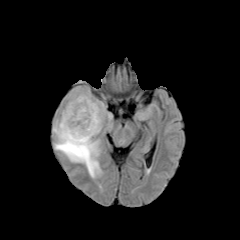
FLAIR MR image.
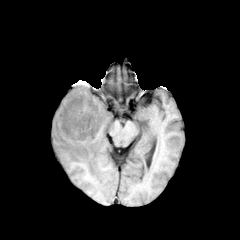
T1-weighted MR image.
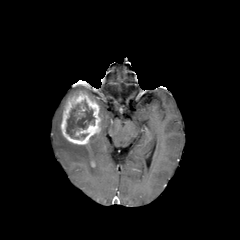
Same slice, post-contrast T1-weighted magnetic resonance.
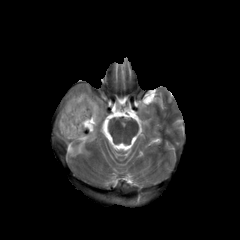
T2-weighted MR.
Head. Axial slice.
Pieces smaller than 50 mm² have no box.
necrotic tumor core: <bbox>66, 101, 94, 138</bbox>
enhancing tumor: <bbox>61, 91, 101, 144</bbox>
peritumoral edema: <bbox>53, 110, 101, 177</bbox>, <bbox>93, 98, 112, 131</bbox>, <bbox>68, 88, 91, 97</bbox>